Brain
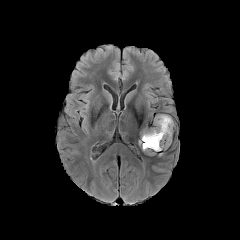
FLAIR MR image.
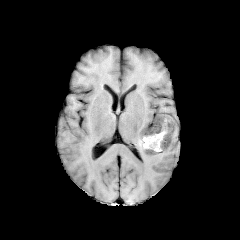
T1-weighted MRI of the same slice.
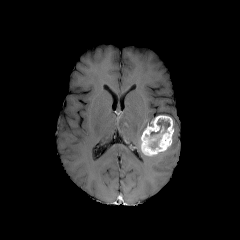
Post-contrast T1-weighted MR image.
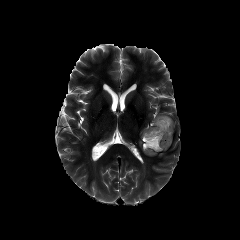
Same slice, T2-weighted magnetic resonance.
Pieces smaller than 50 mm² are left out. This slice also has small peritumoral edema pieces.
The largest necrotic tumor core region lies within (157, 120, 169, 131). The enhancing tumor is at (141, 115, 173, 155).